Axial view
FLAIR MRI.
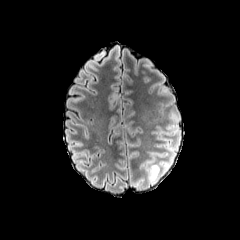
T1-weighted magnetic resonance.
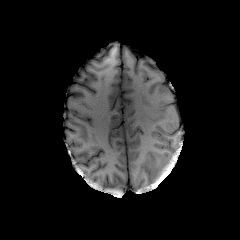
Post-contrast T1-weighted MRI.
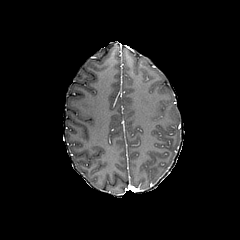
T2-weighted magnetic resonance.
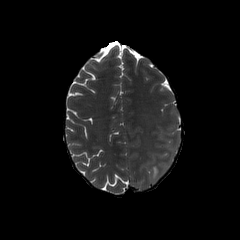
peritumoral edema at (x1=148, y1=162, x2=159, y2=182)